Image width 240 mm, 1.00 mm slice spacing
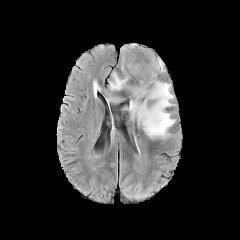
FLAIR magnetic resonance.
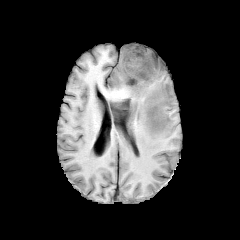
T1-weighted MR image of the same slice.
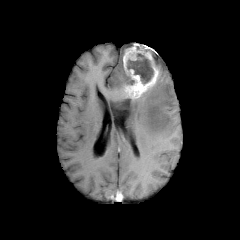
Post-contrast T1-weighted magnetic resonance.
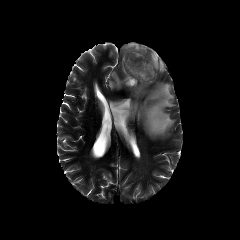
T2-weighted MR image of the same slice.
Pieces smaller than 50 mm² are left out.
{
  "enhancing_tumor": [
    "box=[123, 43, 160, 98]"
  ],
  "necrotic_tumor_core": [
    "box=[125, 76, 134, 84]",
    "box=[151, 51, 160, 65]",
    "box=[127, 53, 153, 83]"
  ],
  "peritumoral_edema": [
    "box=[158, 56, 165, 72]",
    "box=[95, 44, 175, 138]"
  ]
}